FLAIR MR.
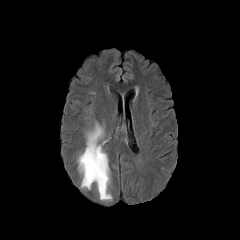
T1-weighted MRI.
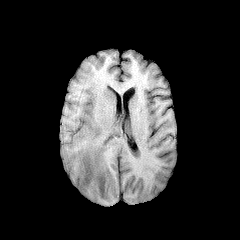
Post-contrast T1-weighted MRI.
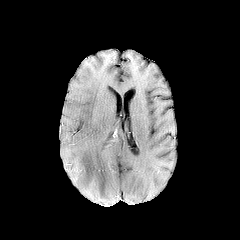
T2-weighted MR.
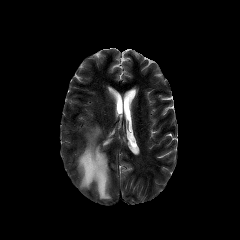
Head | 240x240 px | Axial view
peritumoral edema = region(77, 123, 112, 200)